240x240. Head. Image covers 240 mm x 240 mm.
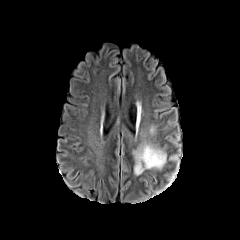
FLAIR MRI.
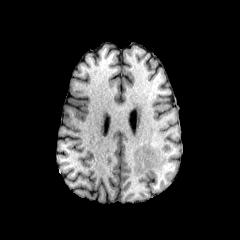
T1-weighted magnetic resonance of the same slice.
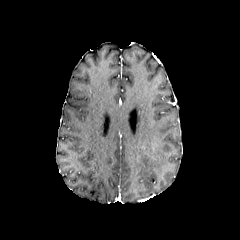
Post-contrast T1-weighted MRI of the same slice.
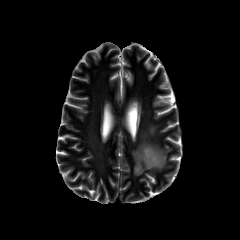
T2-weighted MRI.
The peritumoral edema lies within bbox(133, 142, 166, 175).